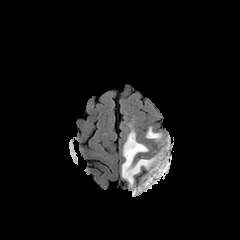
FLAIR magnetic resonance.
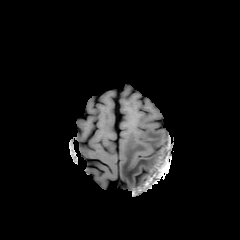
T1-weighted MR image.
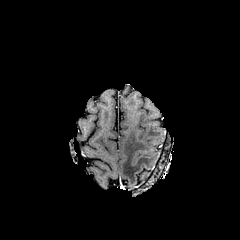
Post-contrast T1-weighted MRI of the same slice.
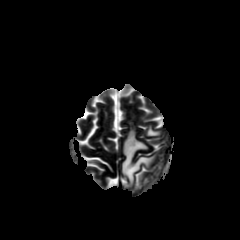
T2-weighted MR image of the same slice.
Head, 240x240 px, Axial view
2 peritumoral edema regions are located at {"x1": 121, "y1": 130, "x2": 160, "y2": 187}, {"x1": 146, "y1": 127, "x2": 161, "y2": 139}.